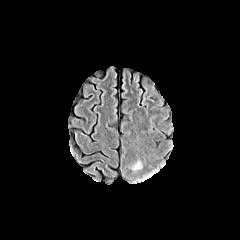
FLAIR magnetic resonance.
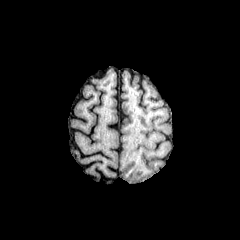
T1-weighted MR image.
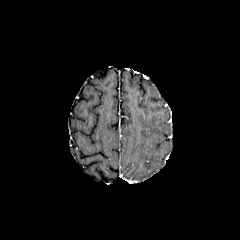
Same slice, post-contrast T1-weighted MRI.
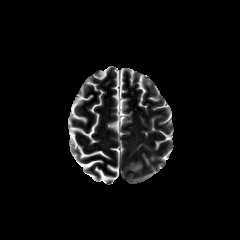
Same slice, T2-weighted MRI.
Image size 240x240. Head.
The peritumoral edema appears at l=132, t=162, r=141, b=170.